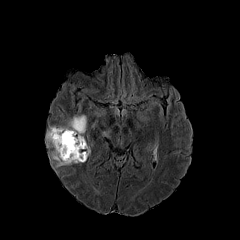
FLAIR MR image.
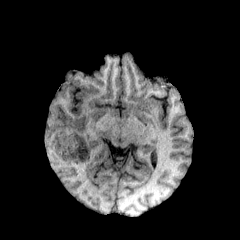
T1-weighted magnetic resonance.
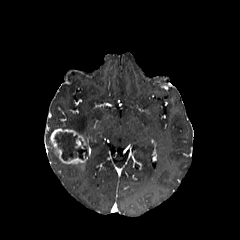
Post-contrast T1-weighted MR image of the same slice.
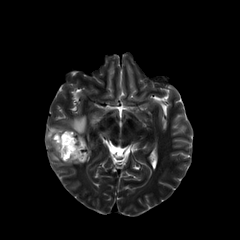
T2-weighted magnetic resonance.
Axial plane
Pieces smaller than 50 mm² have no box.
necrotic tumor core = region(54, 132, 88, 160)
enhancing tumor = region(49, 128, 89, 169)
peritumoral edema = region(49, 151, 71, 168); region(46, 126, 56, 144); region(59, 115, 86, 135)